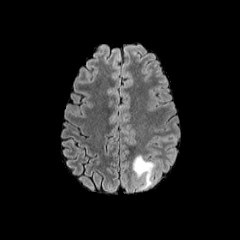
FLAIR MRI.
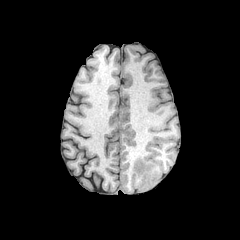
T1-weighted MR.
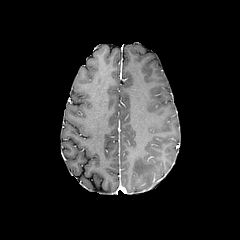
Same slice, post-contrast T1-weighted MR.
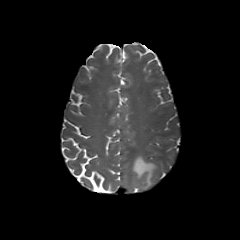
T2-weighted magnetic resonance.
The peritumoral edema is located at (left=132, top=155, right=156, bottom=189).